FLAIR MR.
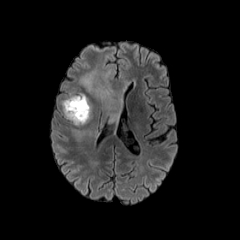
T1-weighted MR.
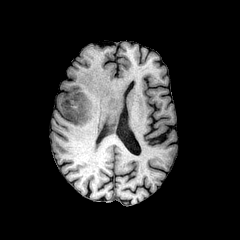
Post-contrast T1-weighted MR.
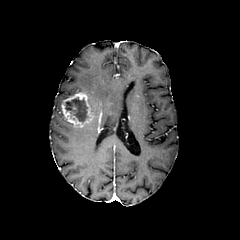
T2-weighted MR.
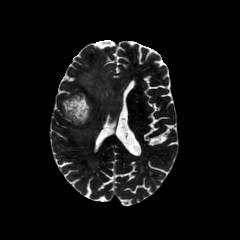
Axial view
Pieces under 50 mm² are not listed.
<segmentation>
  <peritumoral_edema>79,54,124,128; 72,129,87,139</peritumoral_edema>
  <necrotic_tumor_core>65,98,87,121</necrotic_tumor_core>
  <enhancing_tumor>61,92,93,127</enhancing_tumor>
</segmentation>